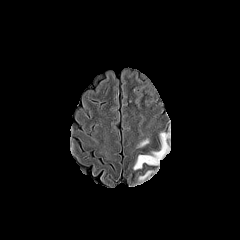
FLAIR MR image.
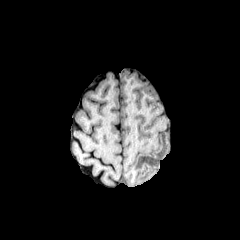
T1-weighted magnetic resonance.
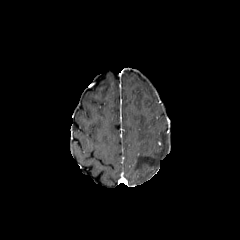
Post-contrast T1-weighted magnetic resonance of the same slice.
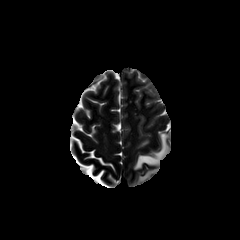
T2-weighted magnetic resonance.
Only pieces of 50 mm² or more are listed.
peritumoral edema: (133, 133, 168, 169), (138, 170, 154, 181)